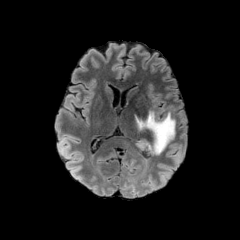
FLAIR magnetic resonance.
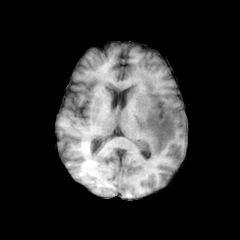
T1-weighted MR image of the same slice.
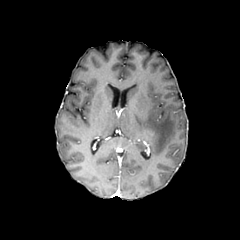
Post-contrast T1-weighted MR.
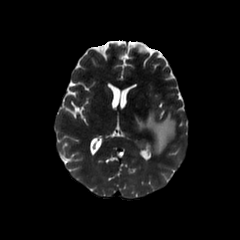
Same slice, T2-weighted MRI.
Axial slice | 240x240 | Brain
Segmented structures:
- peritumoral edema: bbox=[136, 111, 175, 154]